FLAIR magnetic resonance.
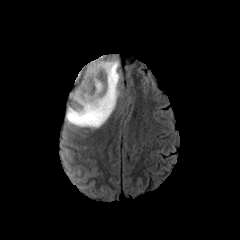
T1-weighted magnetic resonance.
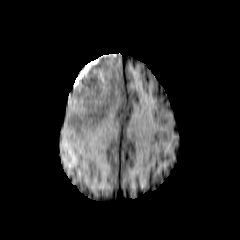
Post-contrast T1-weighted magnetic resonance.
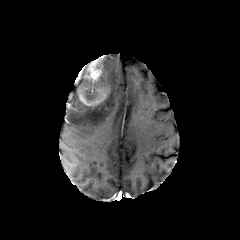
T2-weighted MRI.
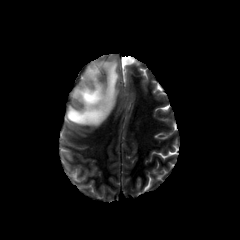
240x240, Brain
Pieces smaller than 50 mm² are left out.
Findings:
* enhancing tumor: [77,58,110,107]
* peritumoral edema: [66,56,120,126]